240x240 px | Slice 71/155 | Axial slice
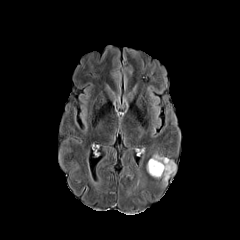
FLAIR MR.
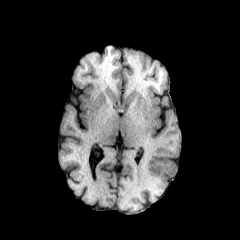
T1-weighted MR image.
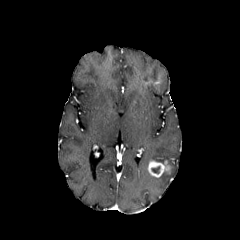
Same slice, post-contrast T1-weighted MR image.
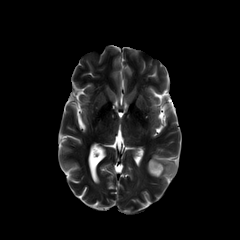
T2-weighted MRI of the same slice.
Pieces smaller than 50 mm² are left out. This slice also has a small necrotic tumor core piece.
{
  "enhancing_tumor": [
    "147, 160, 171, 177"
  ],
  "peritumoral_edema": [
    "150, 153, 176, 185"
  ]
}